Brain.
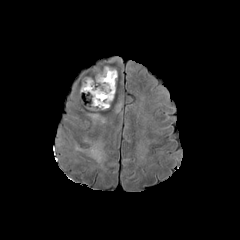
FLAIR magnetic resonance.
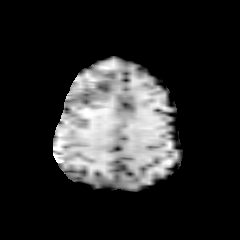
T1-weighted MR.
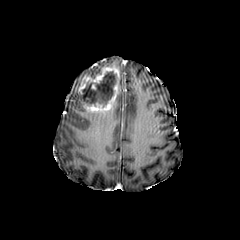
Post-contrast T1-weighted MR image.
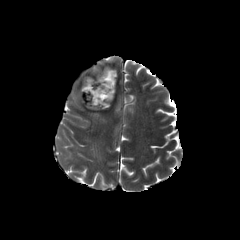
T2-weighted MR of the same slice.
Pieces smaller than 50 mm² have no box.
peritumoral edema: bounding box 91:145:101:159
necrotic tumor core: bounding box 83:71:116:107
enhancing tumor: bounding box 78:67:120:111